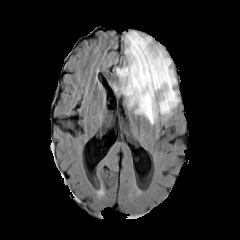
FLAIR MR.
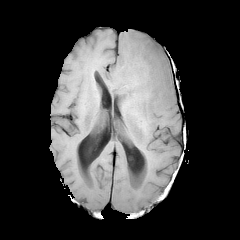
T1-weighted MRI.
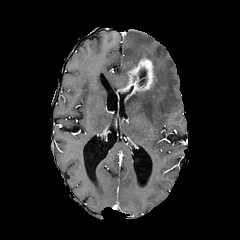
Post-contrast T1-weighted MR image.
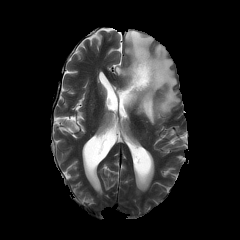
Same slice, T2-weighted MRI.
Axial slice; Image size 240x240
peritumoral_edema:
  - left=114, top=31, right=178, bottom=124
enhancing_tumor:
  - left=119, top=54, right=155, bottom=96
necrotic_tumor_core:
  - left=138, top=68, right=146, bottom=85